Slice 115/155; Image size 240x240
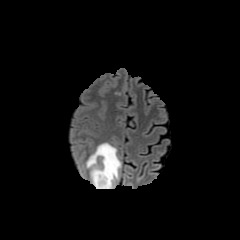
FLAIR MR.
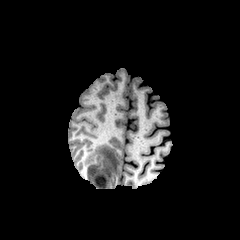
T1-weighted MR.
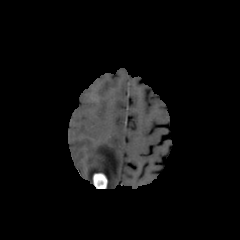
Post-contrast T1-weighted MR.
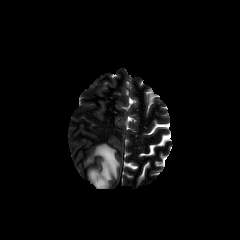
Same slice, T2-weighted MR image.
<segmentation>
  <enhancing_tumor>left=92, top=173, right=107, bottom=188</enhancing_tumor>
  <peritumoral_edema>left=85, top=143, right=121, bottom=188</peritumoral_edema>
</segmentation>